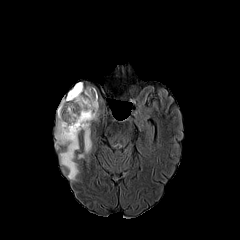
FLAIR MR.
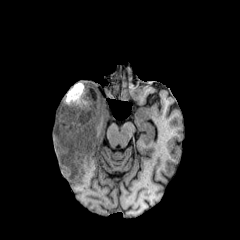
T1-weighted MR image.
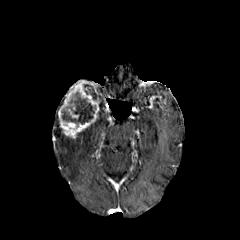
Same slice, post-contrast T1-weighted MR image.
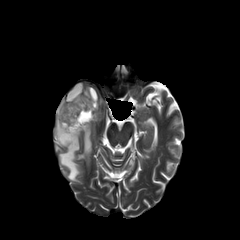
T2-weighted MRI.
240x240
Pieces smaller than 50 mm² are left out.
The largest enhancing tumor region is located at {"x1": 58, "y1": 86, "x2": 100, "y2": 139}. The 2 largest necrotic tumor core regions are located at {"x1": 88, "y1": 86, "x2": 97, "y2": 99}, {"x1": 62, "y1": 82, "x2": 94, "y2": 124}. The 2 largest peritumoral edema regions are bounded by {"x1": 77, "y1": 126, "x2": 91, "y2": 159}, {"x1": 55, "y1": 110, "x2": 79, "y2": 180}.